240x240; Slice 51 of 155
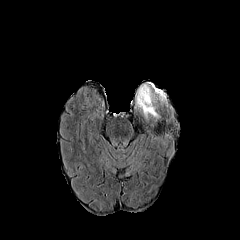
FLAIR MR.
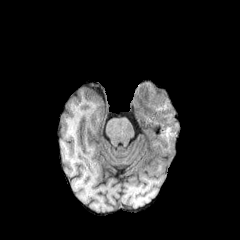
Same slice, T1-weighted MRI.
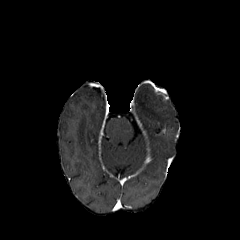
Post-contrast T1-weighted magnetic resonance of the same slice.
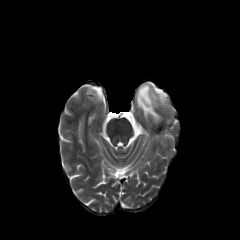
T2-weighted magnetic resonance.
peritumoral edema: bbox=[136, 84, 166, 118]
enhancing tumor: bbox=[149, 82, 166, 98]